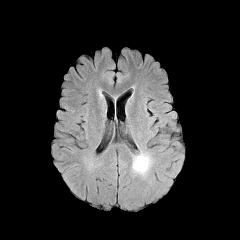
FLAIR MRI.
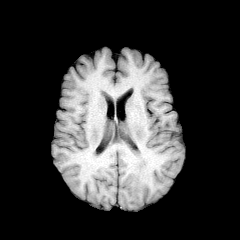
T1-weighted MR.
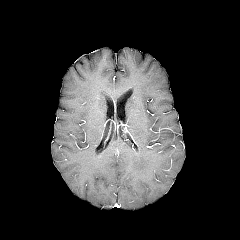
Same slice, post-contrast T1-weighted MRI.
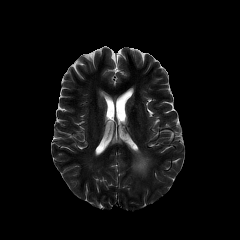
T2-weighted MR of the same slice.
Head.
<segmentation>
  <peritumoral_edema>box=[132, 153, 151, 175]</peritumoral_edema>
</segmentation>